FLAIR MRI.
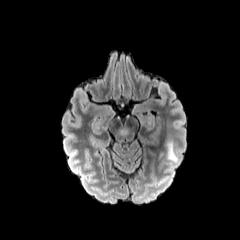
T1-weighted MRI.
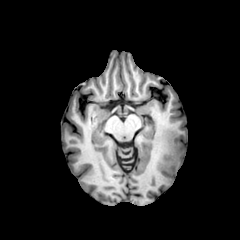
Post-contrast T1-weighted MRI.
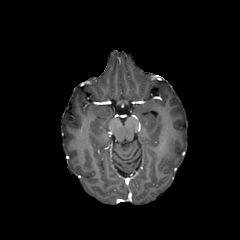
T2-weighted MR image.
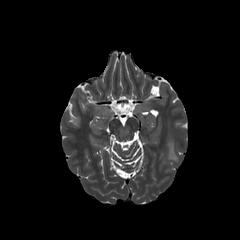
Head.
• peritumoral edema: box=[167, 141, 178, 162]